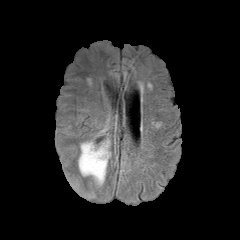
FLAIR MR image.
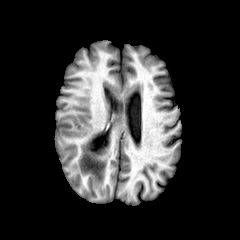
Same slice, T1-weighted magnetic resonance.
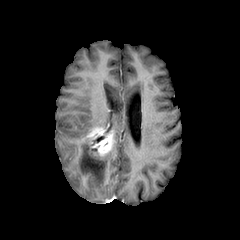
Post-contrast T1-weighted MR image.
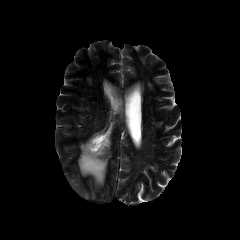
Same slice, T2-weighted MR.
Axial view; Head; 240x240 px
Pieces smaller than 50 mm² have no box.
• enhancing tumor: [89,129,111,156]
• peritumoral edema: [103,115,110,130], [78,139,110,186]
• necrotic tumor core: [91,136,104,145]